FLAIR MR.
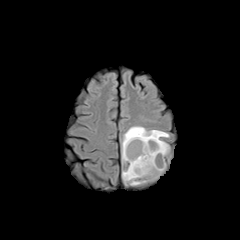
T1-weighted MRI.
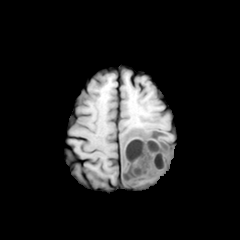
Post-contrast T1-weighted magnetic resonance.
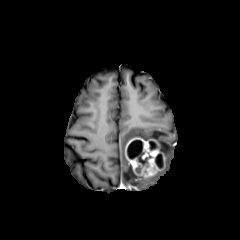
T2-weighted MR.
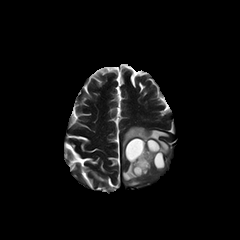
Axial view
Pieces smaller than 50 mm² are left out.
enhancing tumor — <bbox>125, 138, 164, 176</bbox>
necrotic tumor core — <bbox>149, 142, 155, 150</bbox>, <bbox>155, 153, 162, 168</bbox>, <bbox>127, 140, 152, 173</bbox>
peritumoral edema — <bbox>122, 159, 166, 185</bbox>, <bbox>122, 126, 170, 164</bbox>